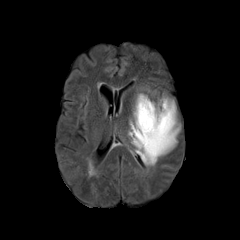
FLAIR magnetic resonance.
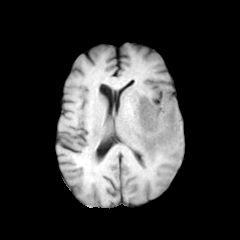
T1-weighted magnetic resonance.
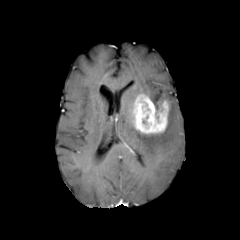
Same slice, post-contrast T1-weighted MR image.
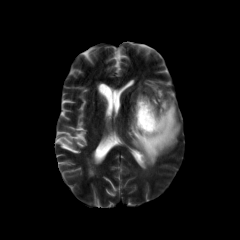
Same slice, T2-weighted MR.
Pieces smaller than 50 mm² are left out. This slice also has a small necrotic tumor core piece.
peritumoral_edema:
  - box(128, 96, 180, 166)
enhancing_tumor:
  - box(132, 94, 168, 134)